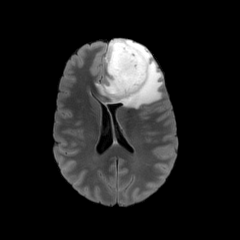
FLAIR magnetic resonance.
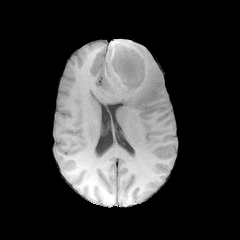
T1-weighted magnetic resonance of the same slice.
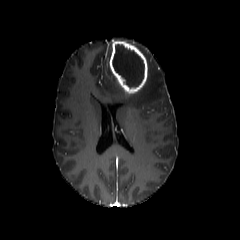
Same slice, post-contrast T1-weighted magnetic resonance.
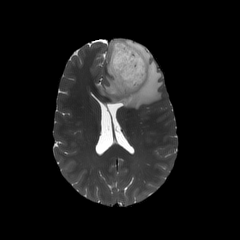
T2-weighted MR.
Head, Image size 240x240
The peritumoral edema appears at [94, 38, 163, 108]. The enhancing tumor is located at [109, 41, 147, 94]. The necrotic tumor core is at [112, 44, 144, 87].